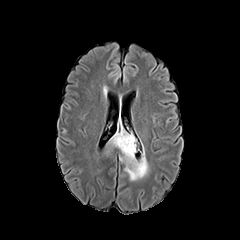
FLAIR magnetic resonance.
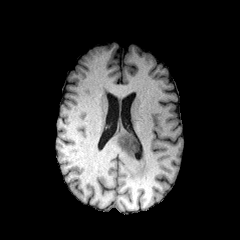
Same slice, T1-weighted MRI.
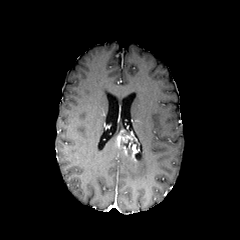
Post-contrast T1-weighted MRI.
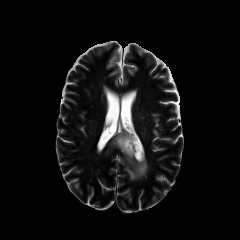
Same slice, T2-weighted MR image.
Head.
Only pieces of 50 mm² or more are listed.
Findings:
- enhancing tumor: rect(131, 144, 137, 160); rect(115, 131, 136, 155)
- peritumoral edema: rect(109, 132, 119, 146); rect(118, 148, 148, 180)
- necrotic tumor core: rect(121, 139, 136, 157)